Image width 240 mm, Brain, 240x240, Slice 54/155
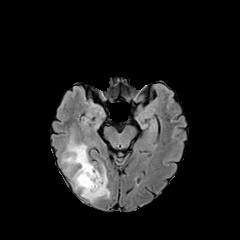
FLAIR MR image.
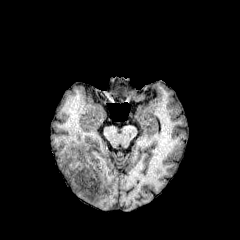
T1-weighted magnetic resonance.
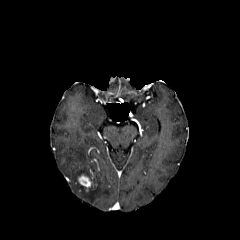
Post-contrast T1-weighted magnetic resonance of the same slice.
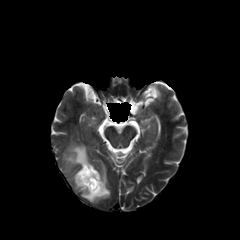
T2-weighted MR image.
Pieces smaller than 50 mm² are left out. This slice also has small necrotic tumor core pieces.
<segmentation>
  <peritumoral_edema>(left=62, top=139, right=94, bottom=189), (left=81, top=163, right=110, bottom=202)</peritumoral_edema>
  <enhancing_tumor>(left=78, top=174, right=96, bottom=191)</enhancing_tumor>
</segmentation>